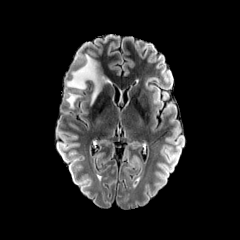
FLAIR MR image.
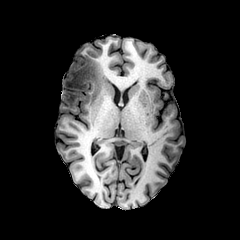
T1-weighted MRI.
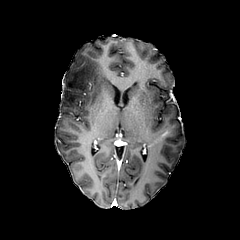
Post-contrast T1-weighted magnetic resonance.
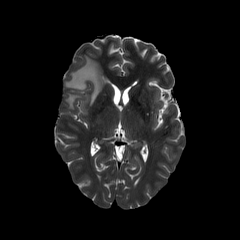
T2-weighted MR.
Brain.
peritumoral edema at bbox(65, 55, 102, 104); bbox(66, 93, 80, 108)